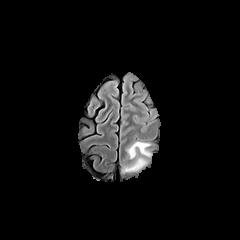
FLAIR MR image.
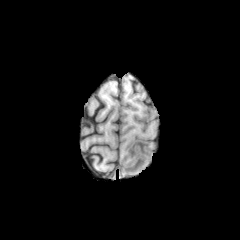
T1-weighted magnetic resonance.
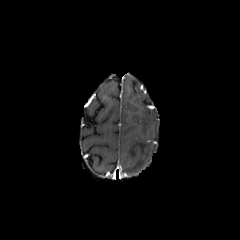
Same slice, post-contrast T1-weighted MR image.
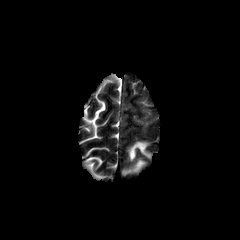
T2-weighted magnetic resonance.
Brain
peritumoral edema at 127 141 151 159, 123 157 148 172